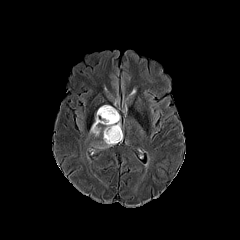
FLAIR magnetic resonance.
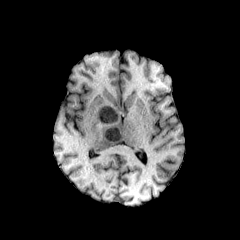
T1-weighted MRI.
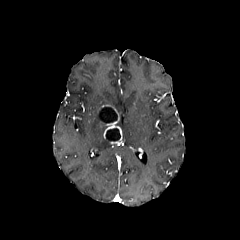
Post-contrast T1-weighted MRI.
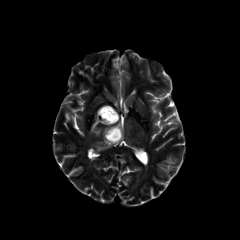
T2-weighted MRI.
Head; Axial view
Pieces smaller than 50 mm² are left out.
The largest enhancing tumor region is at box(100, 107, 122, 144). 2 necrotic tumor core regions are bounded by box(99, 107, 117, 123); box(105, 128, 120, 141). The 2 largest peritumoral edema regions appear at box(90, 111, 101, 136); box(95, 137, 111, 149).